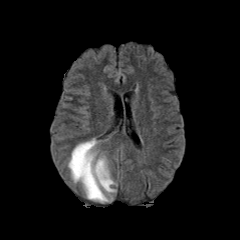
FLAIR magnetic resonance.
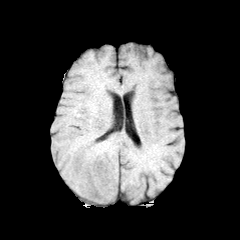
T1-weighted MR.
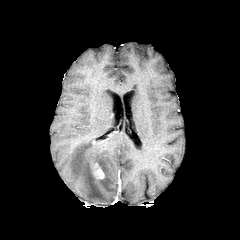
Same slice, post-contrast T1-weighted MR image.
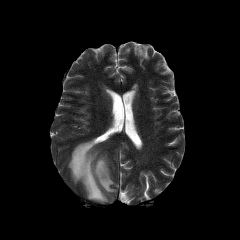
T2-weighted MR image.
240x240 px; Brain
peritumoral edema: bounding box (68, 138, 116, 202)
enhancing tumor: bounding box (94, 163, 104, 178)